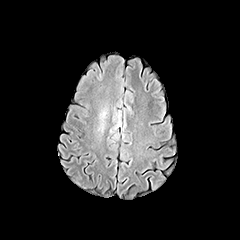
FLAIR MRI.
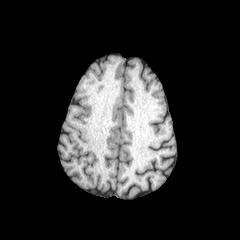
T1-weighted MRI.
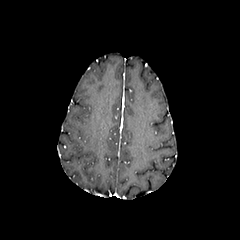
Post-contrast T1-weighted MR image.
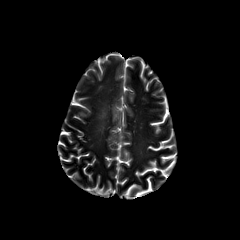
T2-weighted MRI.
Axial view
peritumoral edema = 98, 111, 106, 131